FLAIR MR.
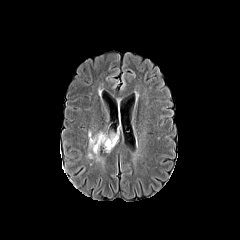
T1-weighted MRI.
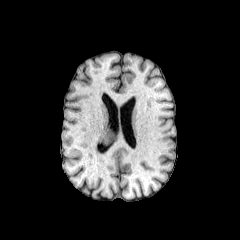
Post-contrast T1-weighted magnetic resonance.
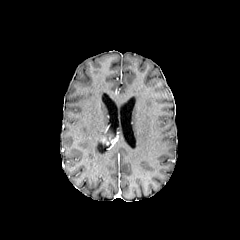
T2-weighted magnetic resonance.
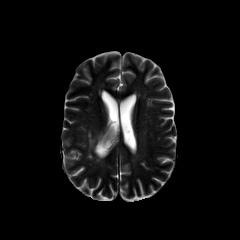
Head
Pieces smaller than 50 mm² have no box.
{"peritumoral_edema": ["[x1=88, y1=131, x2=118, y2=160]"], "enhancing_tumor": ["[x1=100, y1=136, x2=117, y2=148]"]}